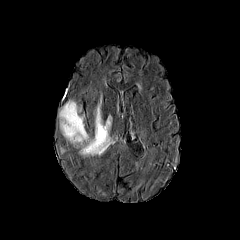
FLAIR MR image.
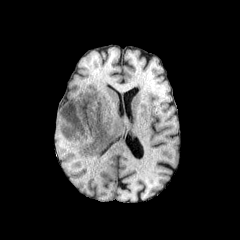
T1-weighted MR image of the same slice.
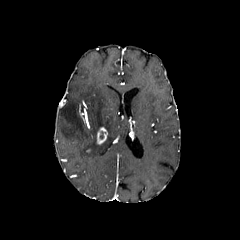
Post-contrast T1-weighted magnetic resonance of the same slice.
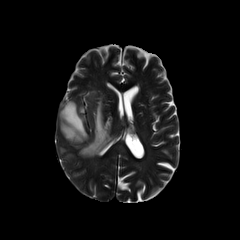
Same slice, T2-weighted magnetic resonance.
Axial slice. Image size 240x240.
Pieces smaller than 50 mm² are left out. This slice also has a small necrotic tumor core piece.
The largest enhancing tumor region lies within (96,127,107,144). The peritumoral edema is located at (59,95,112,156).